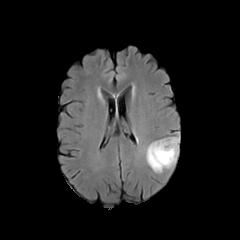
FLAIR MR image.
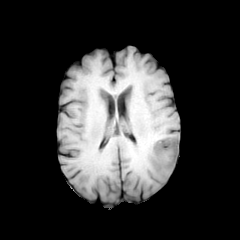
T1-weighted MRI of the same slice.
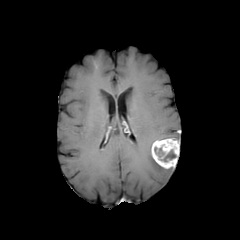
Post-contrast T1-weighted MR.
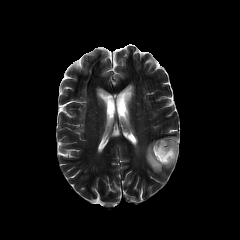
T2-weighted MR.
Brain. 240x240.
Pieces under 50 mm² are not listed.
• necrotic tumor core: bbox=[160, 150, 175, 161]; bbox=[154, 148, 164, 157]
• enhancing tumor: bbox=[151, 138, 179, 168]
• peritumoral edema: bbox=[145, 142, 164, 173]